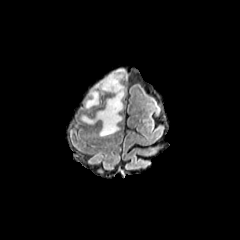
FLAIR MR.
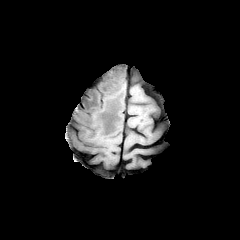
T1-weighted MRI.
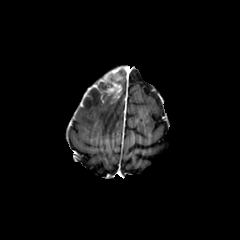
Same slice, post-contrast T1-weighted MR image.
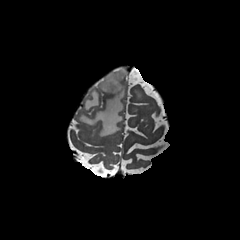
T2-weighted MR.
Image size 240x240; Head
2 peritumoral edema regions appear at (left=80, top=68, right=126, bottom=136), (left=84, top=88, right=100, bottom=110). The enhancing tumor is bounded by (left=92, top=67, right=122, bottom=103). The necrotic tumor core is bounded by (left=98, top=82, right=112, bottom=88).